FLAIR MR image.
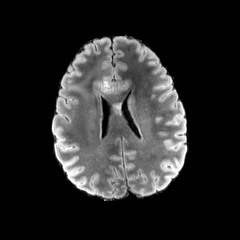
T1-weighted MR image.
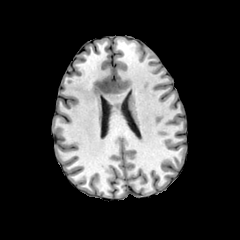
Post-contrast T1-weighted magnetic resonance.
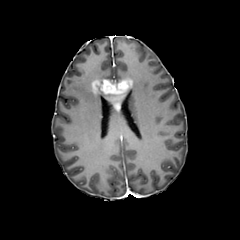
T2-weighted MR image.
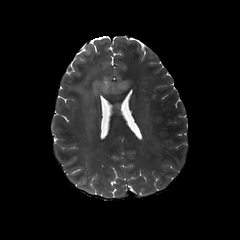
Axial view. Image size 240x240.
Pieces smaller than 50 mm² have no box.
<segmentation>
  <enhancing_tumor><bbox>90, 77, 132, 110</bbox></enhancing_tumor>
  <peritumoral_edema><bbox>69, 60, 101, 117</bbox></peritumoral_edema>
</segmentation>